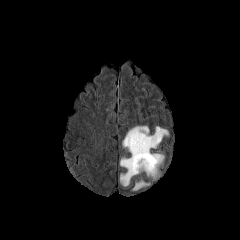
FLAIR MRI.
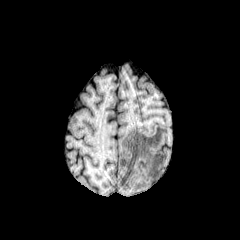
T1-weighted magnetic resonance.
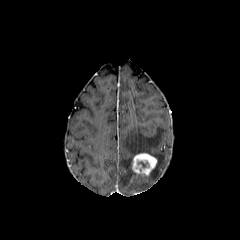
Post-contrast T1-weighted MRI of the same slice.
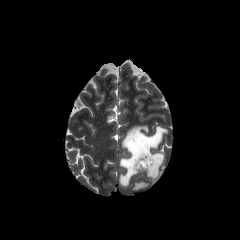
T2-weighted MR of the same slice.
Brain, Axial slice
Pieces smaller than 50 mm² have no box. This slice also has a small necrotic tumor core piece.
{"enhancing_tumor": ["l=132, t=153, r=157, b=175"], "peritumoral_edema": ["l=119, t=124, r=169, b=186", "l=131, t=178, r=150, b=191"]}